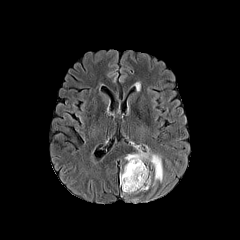
FLAIR MR.
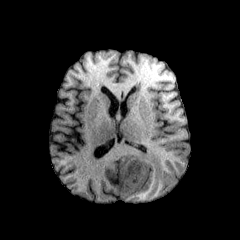
Same slice, T1-weighted MR.
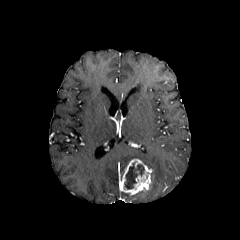
Post-contrast T1-weighted MRI.
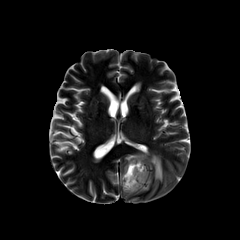
T2-weighted MRI.
240x240 px. Axial view.
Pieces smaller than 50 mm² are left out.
The largest peritumoral edema region lies within left=125, top=149, right=163, bottom=182. The necrotic tumor core appears at left=124, top=163, right=144, bottom=188. The largest enhancing tumor region is bounded by left=120, top=158, right=151, bottom=194.